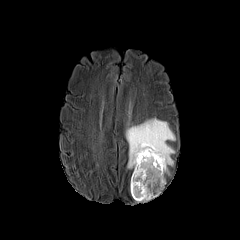
FLAIR MRI.
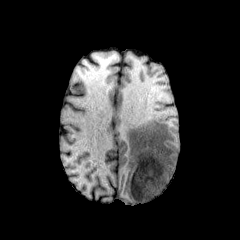
T1-weighted MR of the same slice.
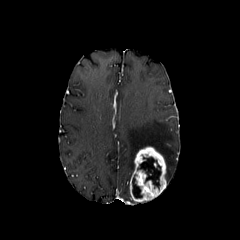
Same slice, post-contrast T1-weighted magnetic resonance.
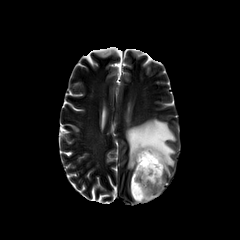
Same slice, T2-weighted MRI.
Axial view | Brain
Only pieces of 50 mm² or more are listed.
<segmentation>
  <necrotic_tumor_core>rect(132, 176, 142, 198); rect(138, 157, 161, 188)</necrotic_tumor_core>
  <enhancing_tumor>rect(130, 146, 166, 202)</enhancing_tumor>
  <peritumoral_edema>rect(125, 118, 175, 175)</peritumoral_edema>
</segmentation>